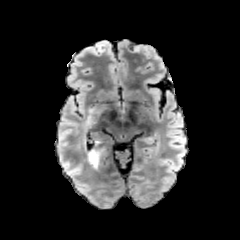
FLAIR MRI.
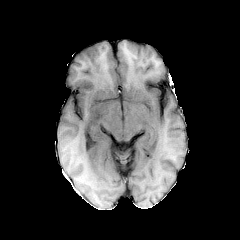
T1-weighted magnetic resonance.
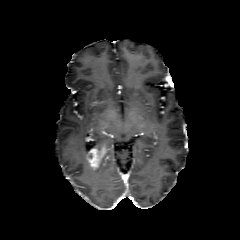
Post-contrast T1-weighted MR of the same slice.
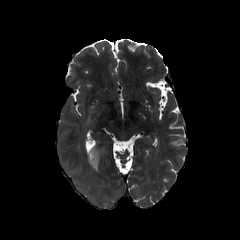
Same slice, T2-weighted MR image.
Head | Axial plane
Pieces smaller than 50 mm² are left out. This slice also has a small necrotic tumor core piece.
The largest peritumoral edema region is located at 91,141,107,149. The enhancing tumor is located at 87,147,107,169.